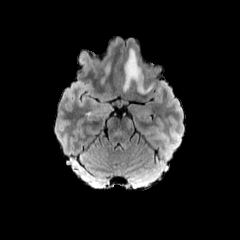
FLAIR MR image.
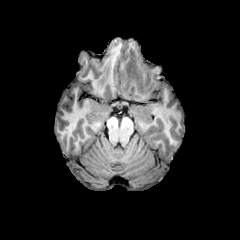
T1-weighted MRI.
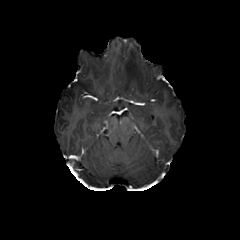
Same slice, post-contrast T1-weighted MR image.
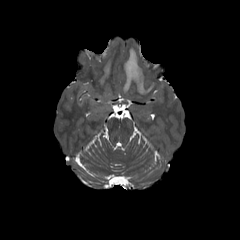
T2-weighted MR image of the same slice.
240x240; Axial plane
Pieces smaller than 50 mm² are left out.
peritumoral_edema:
  - 123, 49, 153, 93